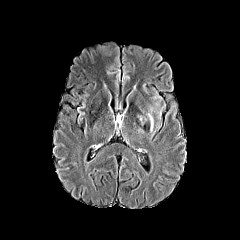
FLAIR magnetic resonance.
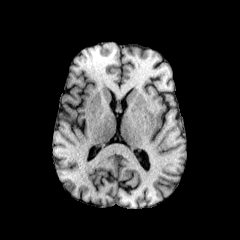
T1-weighted MR image of the same slice.
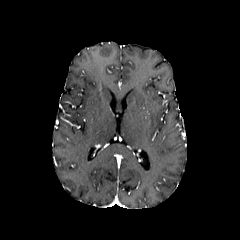
Post-contrast T1-weighted MR of the same slice.
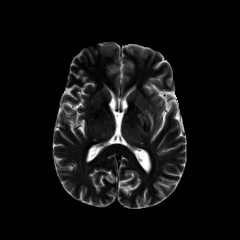
T2-weighted MR.
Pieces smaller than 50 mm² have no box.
peritumoral edema: 148, 114, 153, 131